FLAIR magnetic resonance.
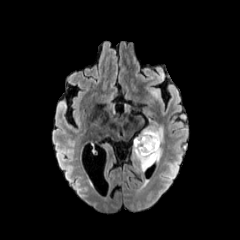
T1-weighted MR.
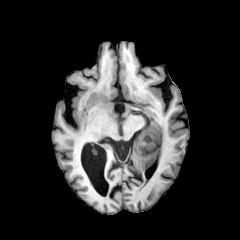
Post-contrast T1-weighted MR image.
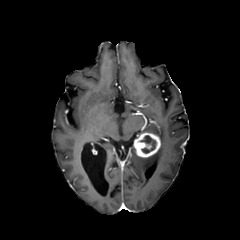
T2-weighted MR.
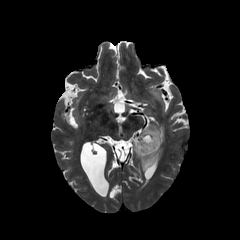
Brain.
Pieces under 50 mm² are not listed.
The enhancing tumor appears at rect(133, 131, 160, 157). The largest peritumoral edema region is located at rect(133, 123, 164, 170). The necrotic tumor core lies within rect(140, 135, 155, 153).